Slice index 76; Image width 240 mm, 1.00 mm slice spacing; Axial plane
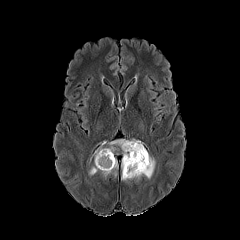
FLAIR MRI.
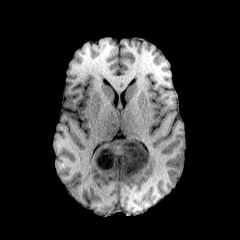
T1-weighted magnetic resonance.
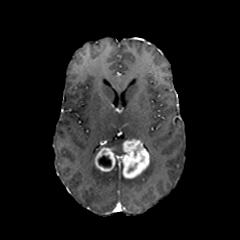
Post-contrast T1-weighted MRI of the same slice.
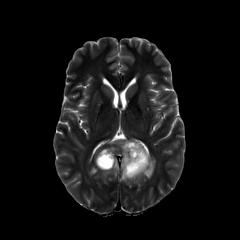
T2-weighted MRI.
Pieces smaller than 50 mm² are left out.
peritumoral_edema:
  - x1=134, y1=156, x2=155, y2=181
  - x1=109, y1=140, x2=125, y2=152
  - x1=89, y1=160, x2=118, y2=177
enhancing_tumor:
  - x1=121, y1=139, x2=149, y2=178
  - x1=94, y1=148, x2=115, y2=171
necrotic_tumor_core:
  - x1=98, y1=155, x2=111, y2=167